Image width 240 mm | Axial slice
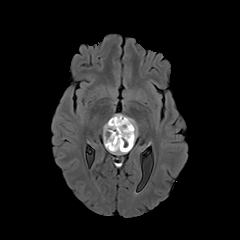
FLAIR MR.
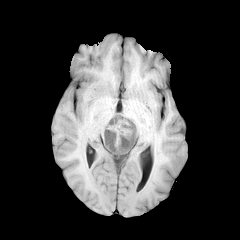
T1-weighted MRI of the same slice.
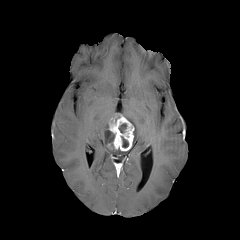
Post-contrast T1-weighted MRI of the same slice.
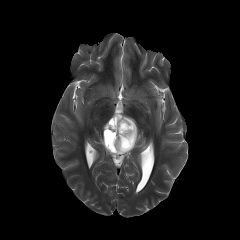
T2-weighted MR.
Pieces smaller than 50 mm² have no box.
enhancing_tumor:
  - {"x1": 108, "y1": 114, "x2": 134, "y2": 151}
necrotic_tumor_core:
  - {"x1": 118, "y1": 123, "x2": 126, "y2": 133}
  - {"x1": 121, "y1": 136, "x2": 128, "y2": 147}
  - {"x1": 105, "y1": 129, "x2": 115, "y2": 150}
peritumoral_edema:
  - {"x1": 103, "y1": 121, "x2": 108, "y2": 141}
  - {"x1": 104, "y1": 142, "x2": 128, "y2": 154}
  - {"x1": 123, "y1": 115, "x2": 138, "y2": 145}